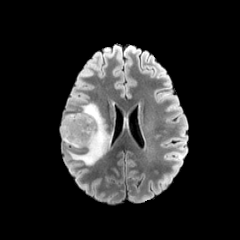
FLAIR MRI.
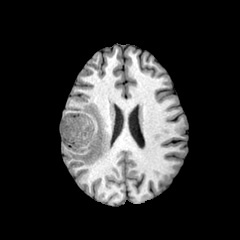
T1-weighted MRI.
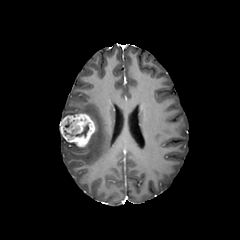
Post-contrast T1-weighted MRI.
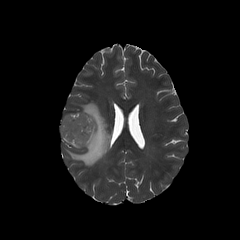
Same slice, T2-weighted MR image.
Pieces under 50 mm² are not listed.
<segmentation>
  <enhancing_tumor>60,113,95,147</enhancing_tumor>
  <necrotic_tumor_core>75,121,88,137</necrotic_tumor_core>
  <peritumoral_edema>61,103,111,165</peritumoral_edema>
</segmentation>